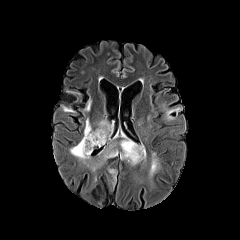
FLAIR magnetic resonance.
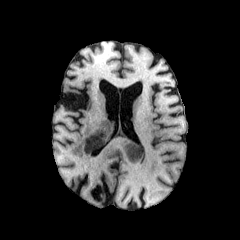
T1-weighted MRI.
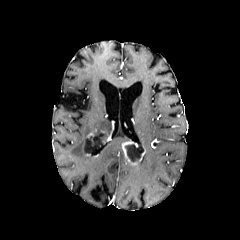
Post-contrast T1-weighted MRI.
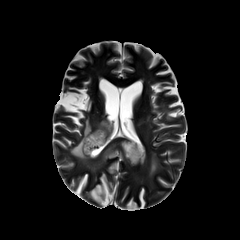
Same slice, T2-weighted MRI.
Axial plane
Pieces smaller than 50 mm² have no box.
Findings:
* enhancing tumor: bbox=[122, 140, 145, 165]
* peritumoral edema: bbox=[93, 120, 110, 140]; bbox=[93, 140, 117, 170]; bbox=[149, 152, 159, 176]; bbox=[107, 168, 118, 186]; bbox=[61, 105, 75, 113]; bbox=[82, 98, 91, 111]; bbox=[70, 119, 91, 162]
* necrotic tumor core: bbox=[125, 144, 143, 162]; bbox=[84, 132, 104, 153]